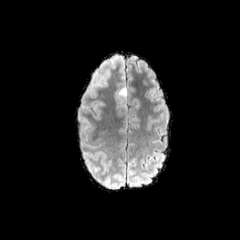
FLAIR magnetic resonance.
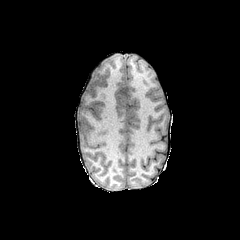
T1-weighted MRI.
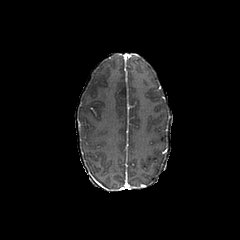
Same slice, post-contrast T1-weighted MRI.
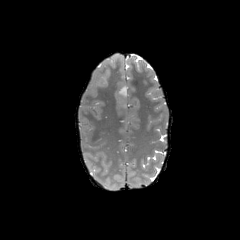
T2-weighted MR of the same slice.
Brain.
peritumoral edema: <bbox>115, 87, 126, 112</bbox>